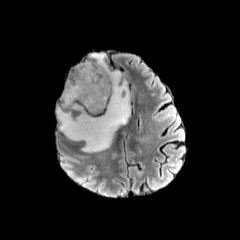
FLAIR MR.
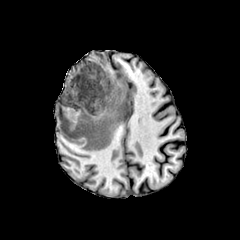
T1-weighted MR.
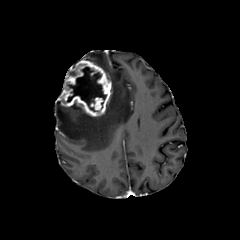
Same slice, post-contrast T1-weighted magnetic resonance.
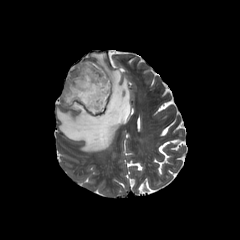
T2-weighted MR image.
Axial view; Brain
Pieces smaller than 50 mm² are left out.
necrotic tumor core — left=67, top=67, right=106, bottom=111
enhancing tumor — left=59, top=60, right=111, bottom=116
peritumoral edema — left=57, top=53, right=130, bottom=152